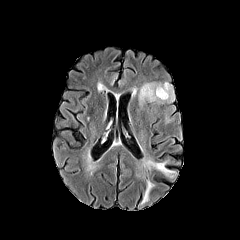
FLAIR magnetic resonance.
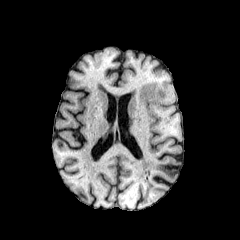
T1-weighted MRI.
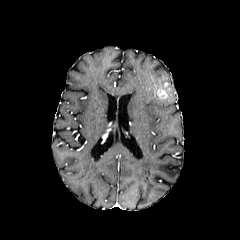
Same slice, post-contrast T1-weighted magnetic resonance.
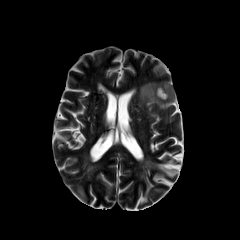
T2-weighted magnetic resonance.
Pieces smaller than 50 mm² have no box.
enhancing_tumor:
  - 155:83:169:100
peritumoral_edema:
  - 139:82:174:105